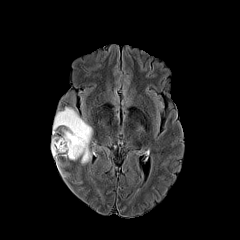
FLAIR MR.
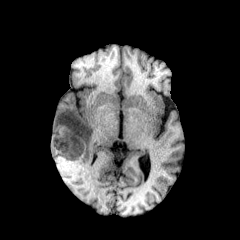
T1-weighted MRI.
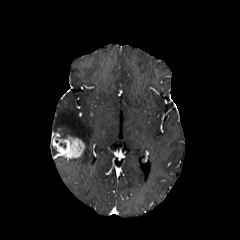
Post-contrast T1-weighted magnetic resonance.
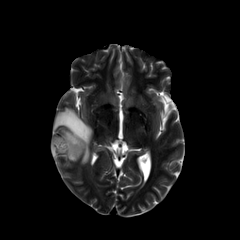
T2-weighted MRI.
Axial plane
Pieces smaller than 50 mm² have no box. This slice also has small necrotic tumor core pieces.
peritumoral edema at (53,107,92,164)
enhancing tumor at (52,135,84,159)